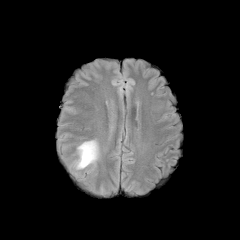
FLAIR MR image.
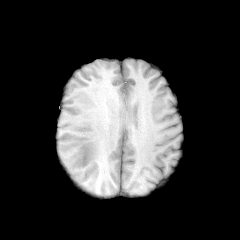
T1-weighted MR image.
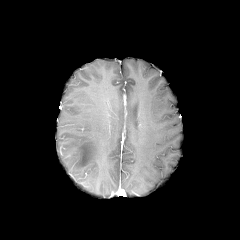
Post-contrast T1-weighted MRI of the same slice.
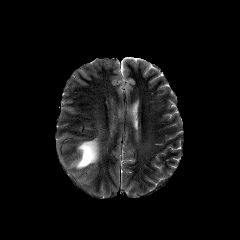
Same slice, T2-weighted MR image.
Brain. 240x240.
peritumoral_edema:
  - box(74, 140, 98, 169)